Head; Slice index 73; 240x240 px
FLAIR MR.
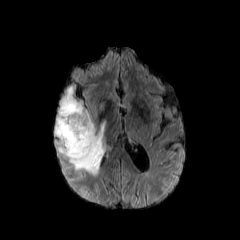
T1-weighted magnetic resonance.
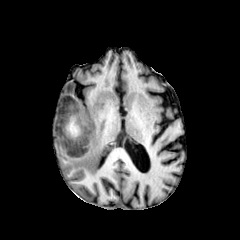
Post-contrast T1-weighted magnetic resonance.
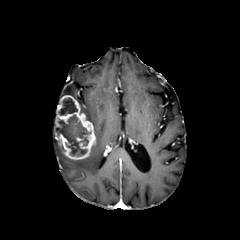
T2-weighted magnetic resonance.
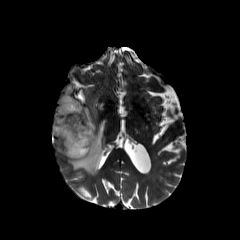
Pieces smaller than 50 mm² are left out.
{"enhancing_tumor": ["x1=54 y1=95 x2=95 y2=159"], "peritumoral_edema": ["x1=56 y1=101 x2=105 y2=175", "x1=65 y1=85 x2=74 y2=95"], "necrotic_tumor_core": ["x1=59 y1=98 x2=77 y2=115", "x1=56 y1=115 x2=90 y2=155"]}